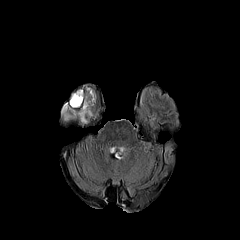
FLAIR magnetic resonance.
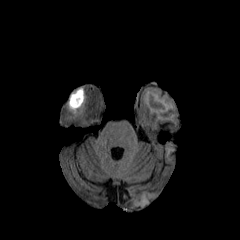
T1-weighted MRI.
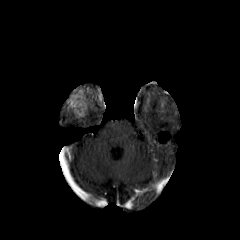
Post-contrast T1-weighted MR image of the same slice.
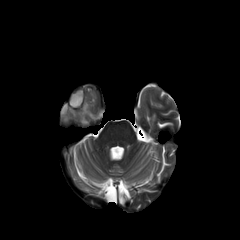
T2-weighted magnetic resonance.
240x240; Brain; Axial view
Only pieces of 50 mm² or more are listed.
Segmented structures:
- necrotic tumor core: region(70, 88, 84, 106)
- enhancing tumor: region(65, 87, 96, 118)
- peritumoral edema: region(61, 104, 75, 119)